Brain.
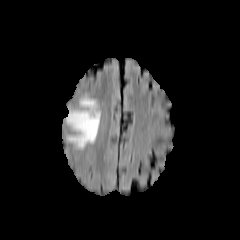
FLAIR magnetic resonance.
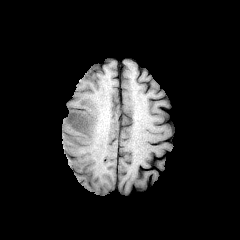
T1-weighted MR.
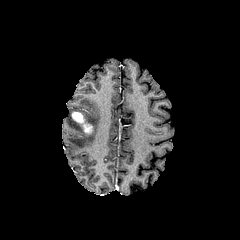
Same slice, post-contrast T1-weighted MR.
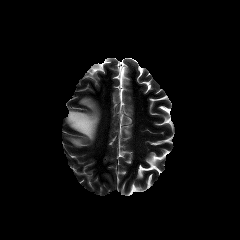
T2-weighted MRI of the same slice.
peritumoral edema: {"x1": 66, "y1": 97, "x2": 100, "y2": 148}
enhancing tumor: {"x1": 71, "y1": 112, "x2": 92, "y2": 134}